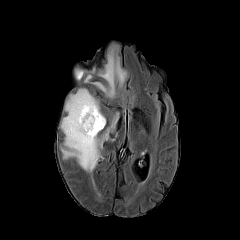
FLAIR magnetic resonance.
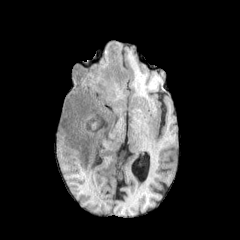
Same slice, T1-weighted MRI.
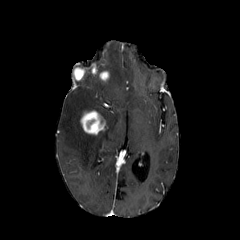
Post-contrast T1-weighted magnetic resonance.
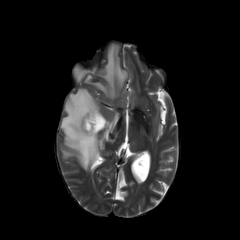
Same slice, T2-weighted MR image.
240x240 px. Head.
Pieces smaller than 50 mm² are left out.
peritumoral edema: <bbox>60, 88, 118, 172</bbox>, <bbox>84, 44, 127, 98</bbox> | necrotic tumor core: <bbox>86, 118, 96, 128</bbox> | enhancing tumor: <bbox>99, 71, 109, 81</bbox>, <bbox>73, 67, 86, 80</bbox>, <bbox>80, 110, 105, 134</bbox>